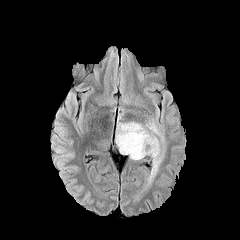
FLAIR MR.
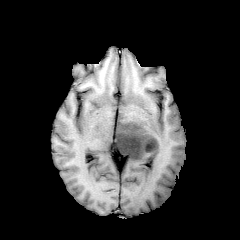
Same slice, T1-weighted MRI.
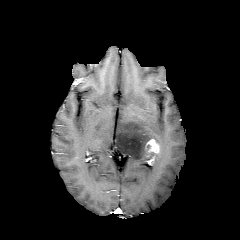
Post-contrast T1-weighted MR image of the same slice.
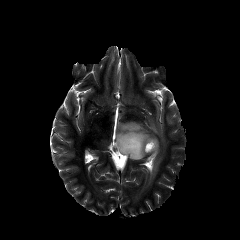
T2-weighted magnetic resonance of the same slice.
Image size 240x240. Axial plane. Brain.
The peritumoral edema is located at [115,113,164,180]. The enhancing tumor is at [145,138,159,153].